FLAIR MRI.
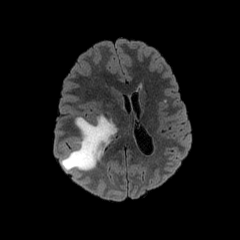
T1-weighted MR.
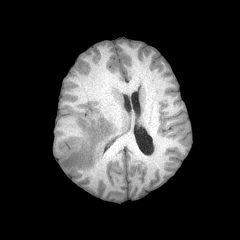
Post-contrast T1-weighted magnetic resonance.
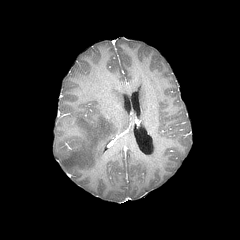
T2-weighted MR.
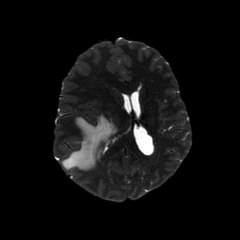
240x240 px, Axial plane
The peritumoral edema lies within (61,115,117,170).